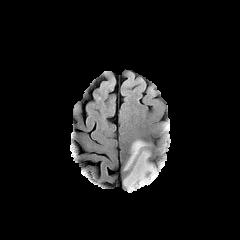
FLAIR MR image.
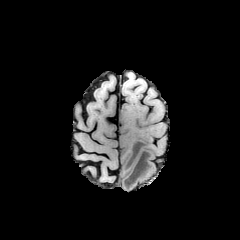
T1-weighted magnetic resonance.
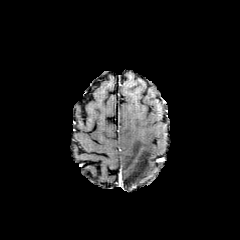
Same slice, post-contrast T1-weighted MRI.
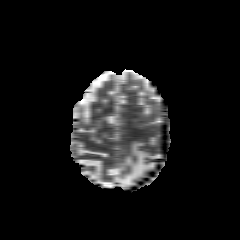
T2-weighted MR of the same slice.
Image size 240x240
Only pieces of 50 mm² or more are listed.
peritumoral edema at 123 140 154 190